FLAIR MR.
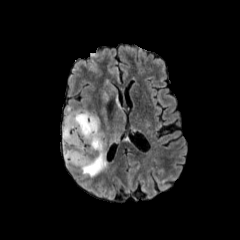
T1-weighted magnetic resonance.
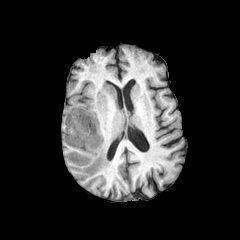
Post-contrast T1-weighted MR image.
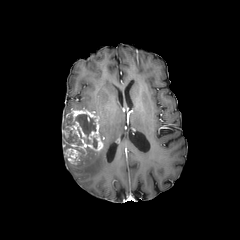
T2-weighted MR image.
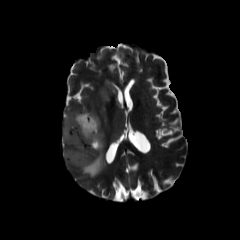
240x240, Head
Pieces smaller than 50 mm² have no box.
{
  "peritumoral_edema": [
    "<box>77,79,126,176</box>"
  ],
  "necrotic_tumor_core": [
    "<box>75,114,96,137</box>",
    "<box>67,130,77,142</box>"
  ],
  "enhancing_tumor": [
    "<box>62,106,103,165</box>"
  ]
}